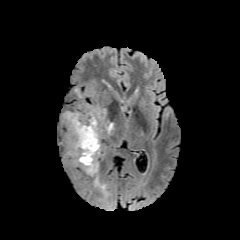
FLAIR MRI.
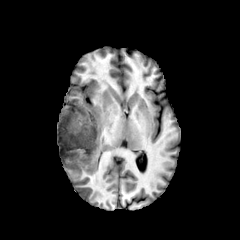
Same slice, T1-weighted MR image.
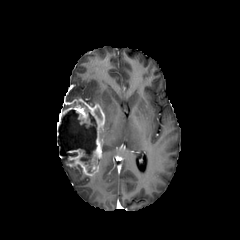
Post-contrast T1-weighted MR image.
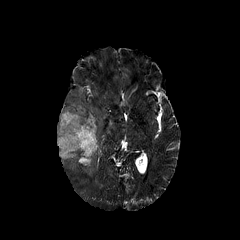
T2-weighted MR image of the same slice.
Axial slice.
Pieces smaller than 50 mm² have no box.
enhancing tumor: x1=57 y1=98 x2=104 y2=176
peritumoral edema: x1=104 y1=122 x2=113 y2=134
necrotic tumor core: x1=58 y1=110 x2=96 y2=165